FLAIR MR image.
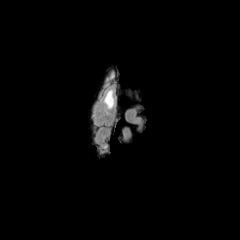
T1-weighted MR image.
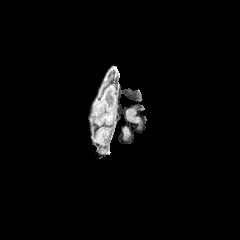
Post-contrast T1-weighted MR.
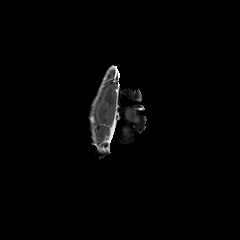
T2-weighted MR image.
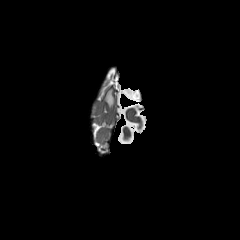
Brain. Image size 240x240.
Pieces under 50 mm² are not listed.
The largest peritumoral edema region is located at x1=104, y1=90, x2=114, y2=108.